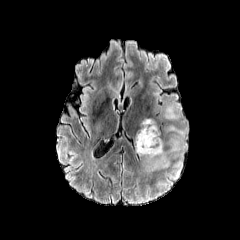
FLAIR MR image.
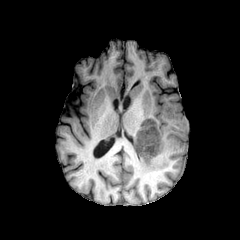
T1-weighted MR.
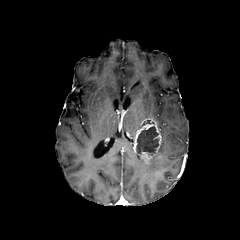
Same slice, post-contrast T1-weighted MRI.
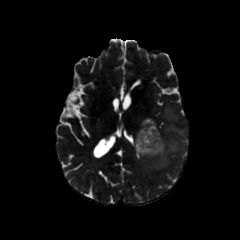
Same slice, T2-weighted MRI.
Axial view. Brain.
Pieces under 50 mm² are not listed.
enhancing tumor — region(134, 118, 161, 163)
peritumoral edema — region(144, 124, 186, 170); region(164, 104, 179, 120)
necrotic tumor core — region(136, 126, 158, 153)